FLAIR MRI.
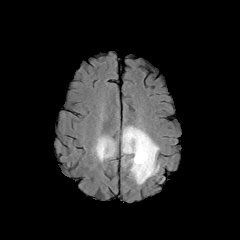
T1-weighted MR image.
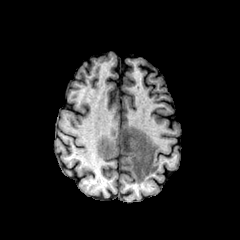
Post-contrast T1-weighted MR image.
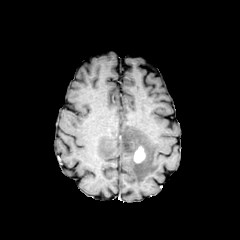
T2-weighted MR.
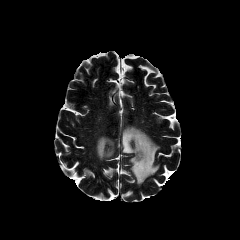
Image size 240x240 | Axial slice | Brain
peritumoral_edema:
  - 94, 136, 115, 161
  - 122, 126, 159, 184
enhancing_tumor:
  - 133, 146, 145, 163